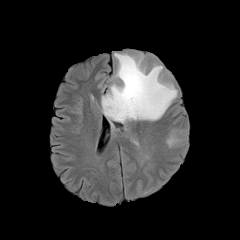
FLAIR MRI.
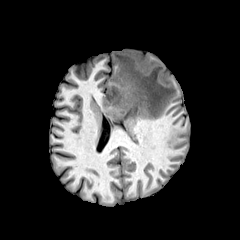
T1-weighted MR image.
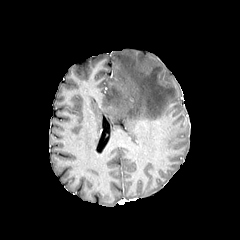
Post-contrast T1-weighted MR.
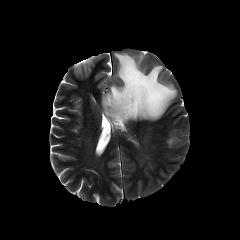
T2-weighted magnetic resonance.
Axial view | Image size 240x240 | Head
<segmentation>
  <peritumoral_edema>left=101, top=53, right=177, bottom=122; left=167, top=128, right=188, bottom=148</peritumoral_edema>
</segmentation>